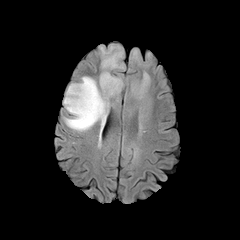
FLAIR MR.
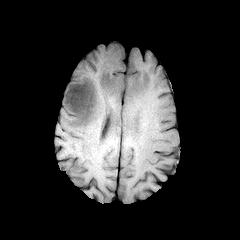
T1-weighted MR image.
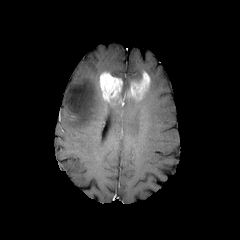
Same slice, post-contrast T1-weighted magnetic resonance.
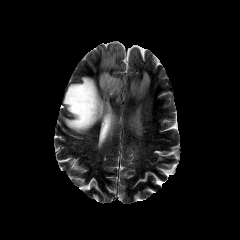
Same slice, T2-weighted magnetic resonance.
240x240.
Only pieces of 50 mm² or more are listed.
Findings:
- enhancing tumor: [x1=99, y1=72, x2=122, y2=101], [x1=128, y1=72, x2=150, y2=98]
- peritumoral edema: [x1=63, y1=76, x2=109, y2=132], [x1=99, y1=44, x2=123, y2=72]